Image covers 240 mm x 240 mm | Axial slice
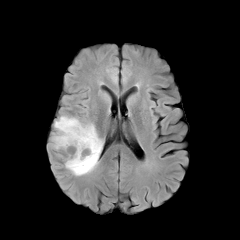
FLAIR MRI.
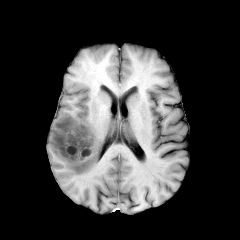
T1-weighted MRI of the same slice.
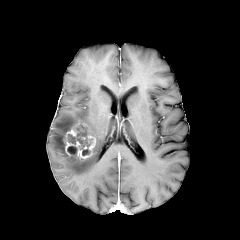
Post-contrast T1-weighted MRI of the same slice.
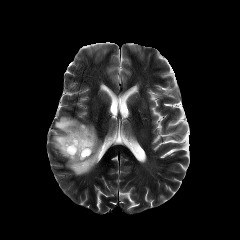
T2-weighted MRI of the same slice.
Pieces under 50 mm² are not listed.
peritumoral edema at 52,115,80,156; 65,123,103,175
enhancing tumor at 62,122,95,159
necrotic tumor core at 68,125,90,147; 67,146,76,154